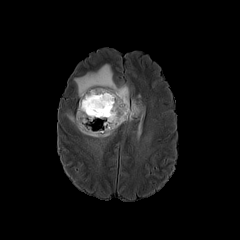
FLAIR MR image.
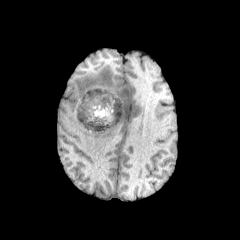
T1-weighted magnetic resonance.
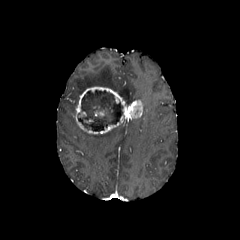
Post-contrast T1-weighted magnetic resonance.
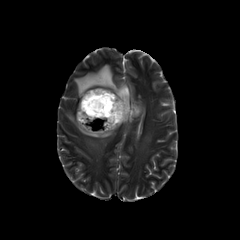
T2-weighted MRI.
Head; Axial view; 240x240
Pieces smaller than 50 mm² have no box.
enhancing_tumor:
  - 94 110 104 116
  - 74 86 142 134
necrotic_tumor_core:
  - 78 90 122 131
peritumoral_edema:
  - 74 64 129 102
  - 67 114 119 141
  - 137 105 144 127